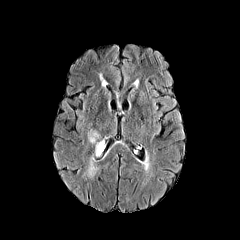
FLAIR MR.
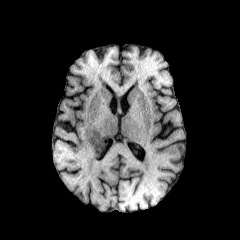
T1-weighted MRI.
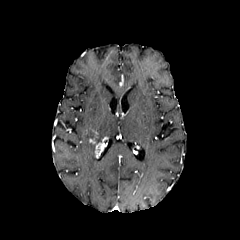
Same slice, post-contrast T1-weighted MR image.
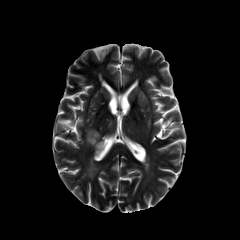
T2-weighted MRI.
Image size 240x240; Brain; Axial plane
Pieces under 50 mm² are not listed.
peritumoral edema: [x1=85, y1=154, x2=98, y2=179], [x1=87, y1=128, x2=102, y2=144] | enhancing tumor: [x1=95, y1=136, x2=109, y2=158]